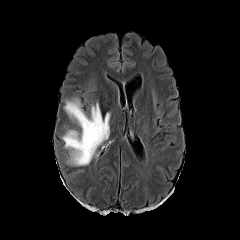
FLAIR magnetic resonance.
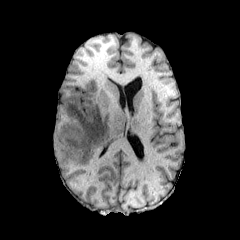
T1-weighted magnetic resonance.
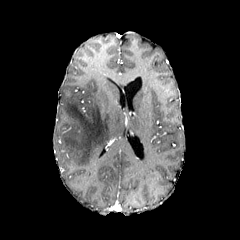
Post-contrast T1-weighted magnetic resonance.
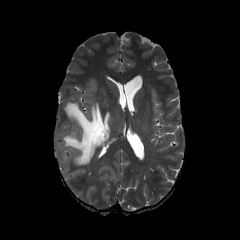
T2-weighted MRI.
Brain, Image size 240x240
Annotated regions:
- peritumoral edema: <box>62,98,111,166</box>